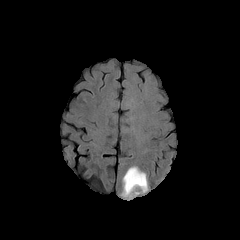
FLAIR MRI.
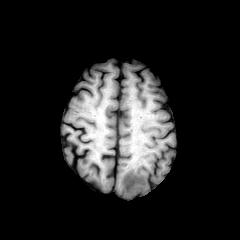
T1-weighted MRI.
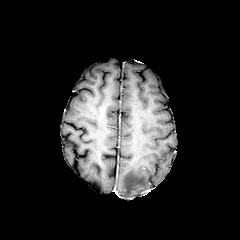
Same slice, post-contrast T1-weighted magnetic resonance.
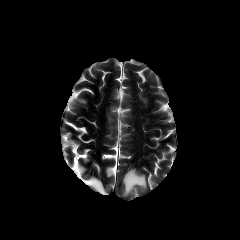
T2-weighted magnetic resonance.
Axial slice
peritumoral_edema:
  - [x1=122, y1=167, x2=147, y2=196]